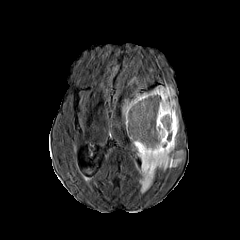
FLAIR MR image.
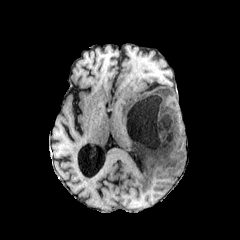
T1-weighted MR of the same slice.
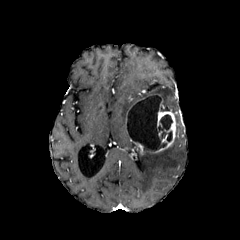
Same slice, post-contrast T1-weighted magnetic resonance.
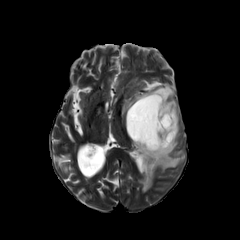
Same slice, T2-weighted MRI.
Axial view | 240x240
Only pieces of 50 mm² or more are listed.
peritumoral edema: left=122, top=84, right=176, bottom=118; left=137, top=138, right=183, bottom=192 | enhancing tumor: left=130, top=99, right=176, bottom=155 | necrotic tumor core: left=127, top=94, right=172, bottom=150